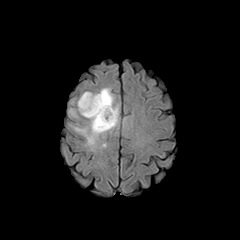
FLAIR MR image.
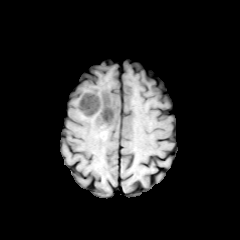
T1-weighted MR of the same slice.
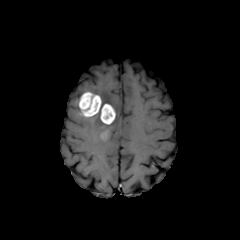
Post-contrast T1-weighted magnetic resonance of the same slice.
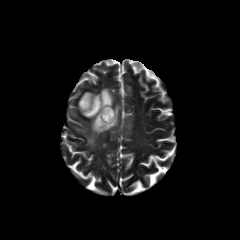
Same slice, T2-weighted magnetic resonance.
Axial view. Head.
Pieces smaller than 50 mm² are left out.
peritumoral edema: region(74, 87, 119, 148) | necrotic tumor core: region(104, 109, 112, 118) | enhancing tumor: region(78, 92, 115, 124)